FLAIR MRI.
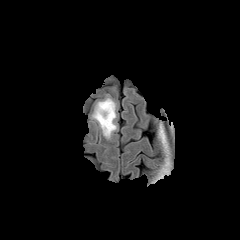
T1-weighted MRI.
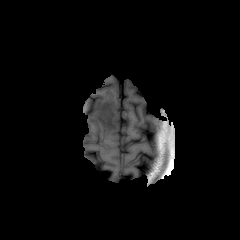
Post-contrast T1-weighted magnetic resonance.
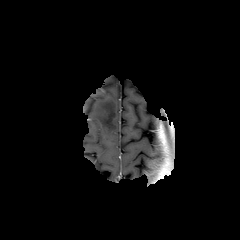
T2-weighted MRI.
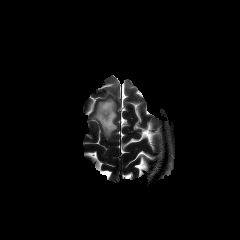
peritumoral edema = 92:95:117:139